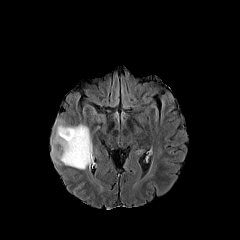
FLAIR MRI.
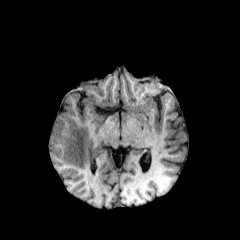
T1-weighted MR.
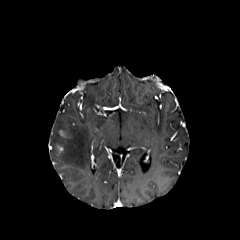
Same slice, post-contrast T1-weighted MR.
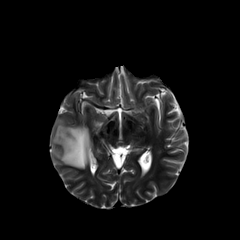
T2-weighted MRI.
Head
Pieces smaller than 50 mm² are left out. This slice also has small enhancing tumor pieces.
peritumoral edema: bounding box x1=50, y1=118, x2=91, y2=169